Slice index 98 | Image width 240 mm, 1.00 mm slice spacing
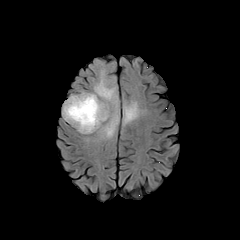
FLAIR MR image.
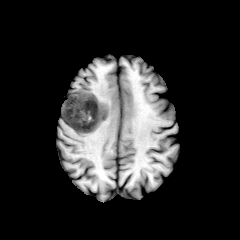
Same slice, T1-weighted magnetic resonance.
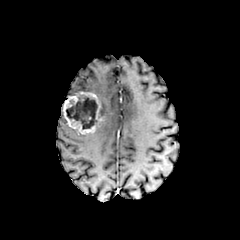
Same slice, post-contrast T1-weighted magnetic resonance.
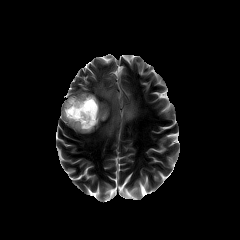
T2-weighted magnetic resonance.
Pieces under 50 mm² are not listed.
necrotic tumor core: x1=66, y1=96, x2=97, y2=129 | peritumoral edema: x1=91, y1=73, x2=119, y2=139; x1=122, y1=100, x2=138, y2=126 | enhancing tumor: x1=62, y1=91, x2=104, y2=134